Slice 43 of 155
FLAIR MR image.
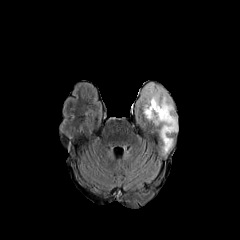
T1-weighted MR.
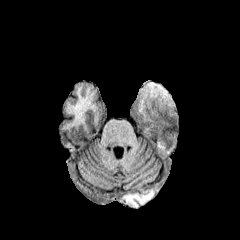
Post-contrast T1-weighted MR.
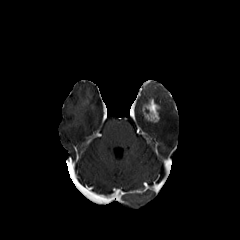
T2-weighted magnetic resonance.
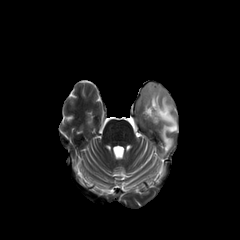
enhancing tumor: bounding box (142, 98, 160, 122)
peritumoral edema: bounding box (140, 83, 177, 153)